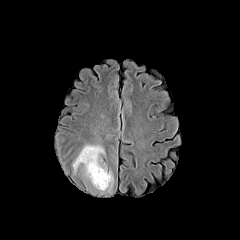
FLAIR magnetic resonance.
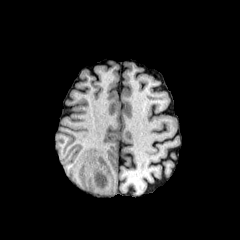
T1-weighted magnetic resonance of the same slice.
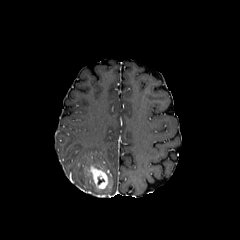
Post-contrast T1-weighted magnetic resonance.
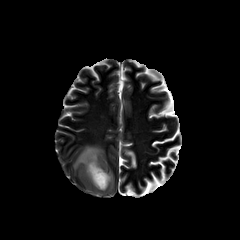
Same slice, T2-weighted magnetic resonance.
Axial plane, Brain
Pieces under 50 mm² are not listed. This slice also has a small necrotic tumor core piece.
The enhancing tumor lies within box(87, 165, 108, 189). The peritumoral edema is bounded by box(73, 144, 114, 193).